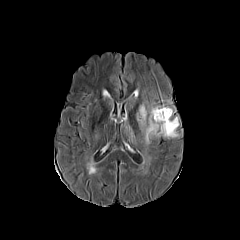
FLAIR magnetic resonance.
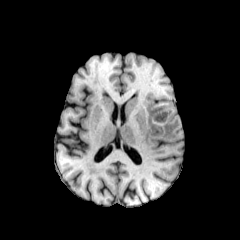
Same slice, T1-weighted MR image.
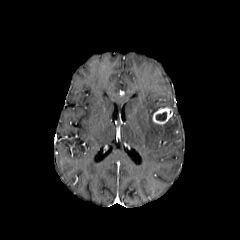
Same slice, post-contrast T1-weighted MRI.
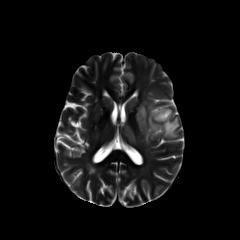
T2-weighted MR image.
Image size 240x240; Brain; Axial slice
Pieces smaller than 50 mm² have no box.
Segmented structures:
* enhancing tumor: [152,107,172,124]
* peritumoral edema: [137,105,179,144]
* necrotic tumor core: [156,112,166,120]